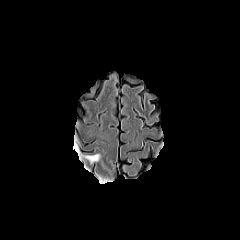
FLAIR magnetic resonance.
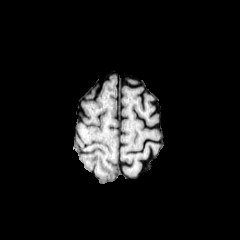
T1-weighted MR.
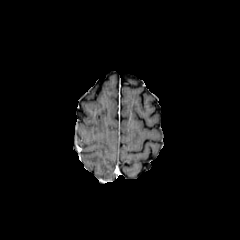
Post-contrast T1-weighted MR.
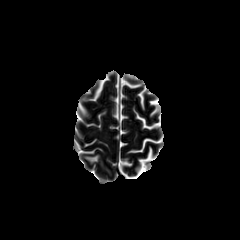
T2-weighted MR image of the same slice.
Axial view, Head
peritumoral edema: l=85, t=154, r=99, b=162